Image width 240 mm. Brain.
FLAIR MR image.
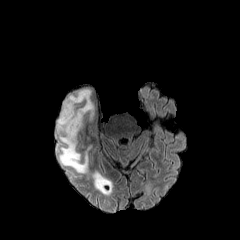
T1-weighted MR image.
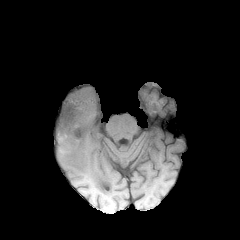
Post-contrast T1-weighted MR.
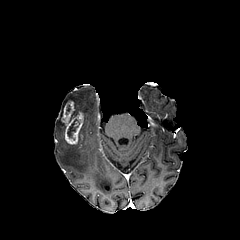
T2-weighted MR image.
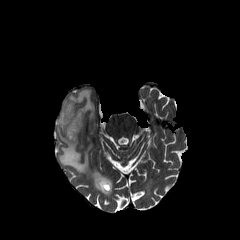
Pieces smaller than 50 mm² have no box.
The 2 largest peritumoral edema regions appear at x1=91, y1=170, x2=112, y2=194; x1=57, y1=89, x2=94, y2=173. The enhancing tumor lies within x1=61, y1=101, x2=83, y2=144. The largest necrotic tumor core region is at x1=67, y1=119, x2=77, y2=137.